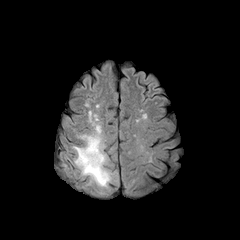
FLAIR MRI.
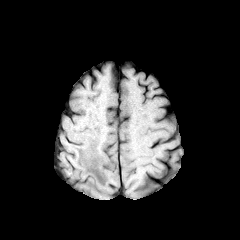
Same slice, T1-weighted magnetic resonance.
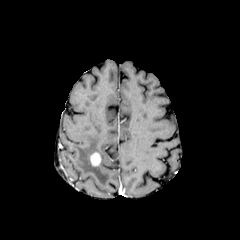
Post-contrast T1-weighted magnetic resonance.
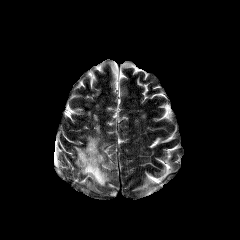
T2-weighted MR.
Axial plane, Image size 240x240
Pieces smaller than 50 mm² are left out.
Annotated regions:
• enhancing tumor: x1=89 y1=152 x2=101 y2=166
• peritumoral edema: x1=74 y1=125 x2=112 y2=186